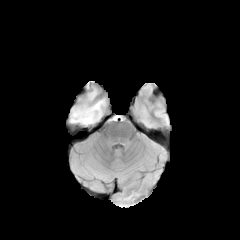
FLAIR MR image.
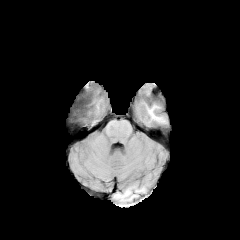
T1-weighted magnetic resonance.
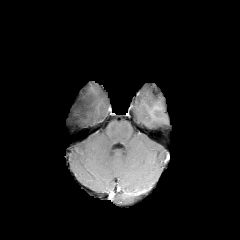
Post-contrast T1-weighted MRI.
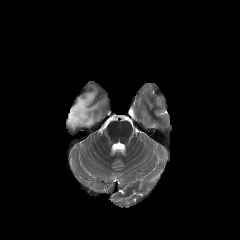
T2-weighted MR.
Axial slice; Head
{"peritumoral_edema": ["left=66, top=81, right=108, bottom=127"]}